Slice 42/155
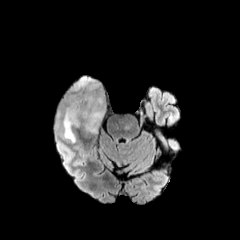
FLAIR MRI.
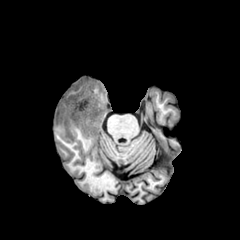
T1-weighted MR image.
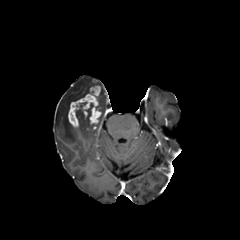
Same slice, post-contrast T1-weighted MR image.
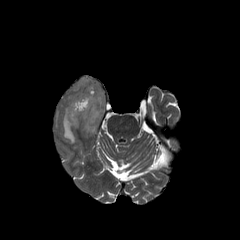
T2-weighted MRI of the same slice.
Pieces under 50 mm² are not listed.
Segmented structures:
• enhancing tumor: (left=68, top=86, right=101, bottom=127)
• peritumoral edema: (left=62, top=105, right=75, bottom=143), (left=77, top=111, right=83, bottom=121), (left=70, top=76, right=106, bottom=133)